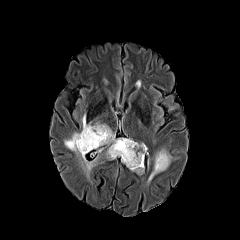
FLAIR MRI.
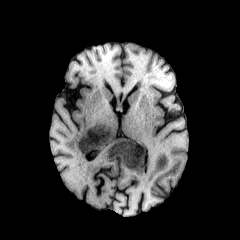
T1-weighted MR image.
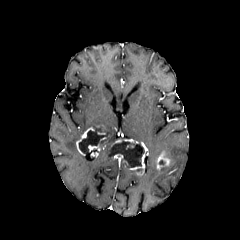
Post-contrast T1-weighted MRI.
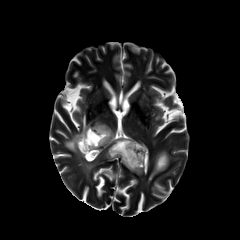
T2-weighted magnetic resonance.
Head | Image size 240x240
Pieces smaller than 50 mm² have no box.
enhancing_tumor:
  - bbox=[129, 142, 147, 175]
  - bbox=[111, 139, 138, 146]
  - bbox=[156, 152, 169, 170]
  - bbox=[76, 127, 94, 155]
  - bbox=[88, 143, 100, 151]
peritumoral_edema:
  - bbox=[147, 149, 172, 183]
  - bbox=[106, 147, 113, 159]
  - bbox=[103, 124, 115, 144]
  - bbox=[64, 114, 101, 179]
necrotic_tumor_core:
  - bbox=[111, 141, 144, 167]
  - bbox=[79, 126, 107, 153]